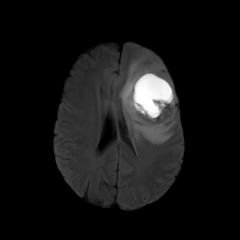
FLAIR MR.
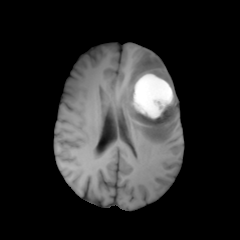
T1-weighted magnetic resonance.
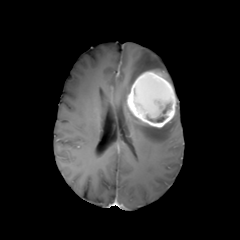
Post-contrast T1-weighted magnetic resonance of the same slice.
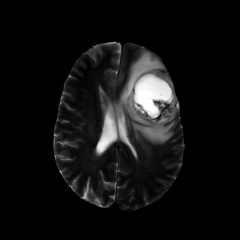
T2-weighted MR image.
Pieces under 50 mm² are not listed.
{
  "necrotic_tumor_core": [
    "[x1=147, y1=116, x2=164, y2=122]"
  ],
  "peritumoral_edema": [
    "[x1=119, y1=49, x2=176, y2=144]"
  ],
  "enhancing_tumor": [
    "[x1=127, y1=71, x2=176, y2=127]"
  ]
}